240x240 px; Brain; Axial plane
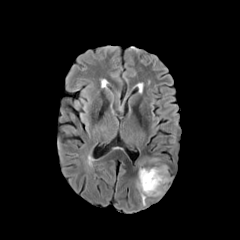
FLAIR MR image.
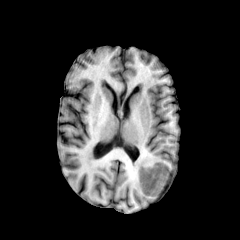
Same slice, T1-weighted MRI.
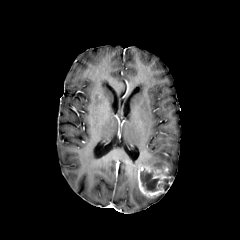
Post-contrast T1-weighted MR image.
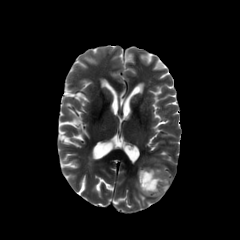
T2-weighted MR image of the same slice.
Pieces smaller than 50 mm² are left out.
* enhancing tumor: [x1=138, y1=165, x2=171, y2=196]
* peritumoral edema: [x1=148, y1=157, x2=159, y2=162], [x1=136, y1=181, x2=146, y2=206]
* necrotic tumor core: [x1=140, y1=169, x2=159, y2=191], [x1=158, y1=179, x2=168, y2=190]